Brain, Image width 240 mm
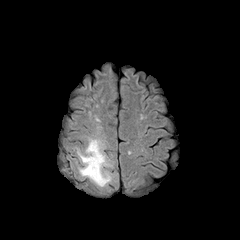
FLAIR MR.
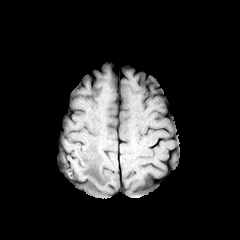
T1-weighted MRI of the same slice.
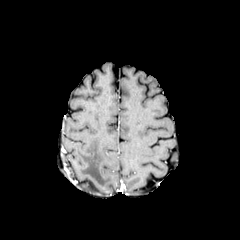
Post-contrast T1-weighted magnetic resonance of the same slice.
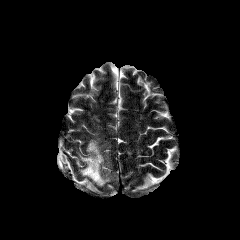
T2-weighted magnetic resonance.
The peritumoral edema is bounded by (left=78, top=139, right=112, bottom=186).